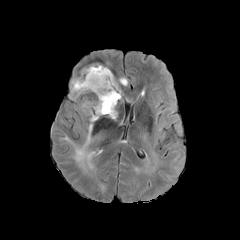
FLAIR MRI.
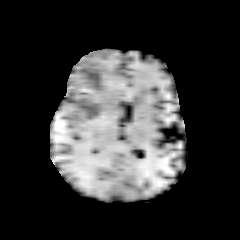
T1-weighted MRI.
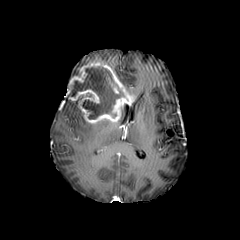
Post-contrast T1-weighted MR image of the same slice.
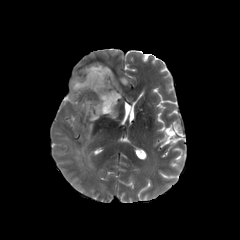
Same slice, T2-weighted MR image.
Image size 240x240
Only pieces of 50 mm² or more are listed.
enhancing tumor — [67,62,133,124]
necrotic tumor core — [68,67,120,119]
peritumoral edema — [120,77,128,85], [63,124,94,169]